FLAIR MR image.
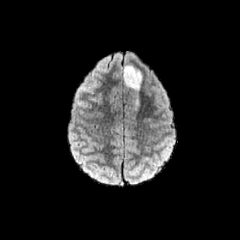
T1-weighted MR image.
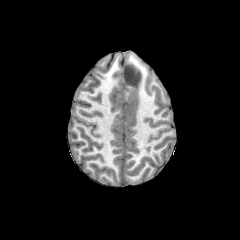
Post-contrast T1-weighted MR image.
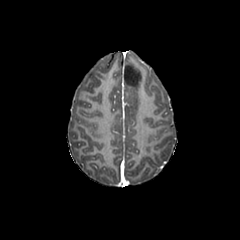
T2-weighted MRI.
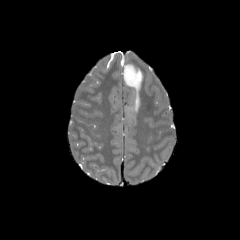
Axial slice, Head
peritumoral edema = x1=123 y1=64 x2=141 y2=114